Axial plane; 240x240 px; Brain; Slice 63/155
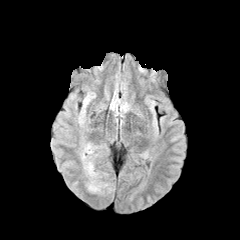
FLAIR magnetic resonance.
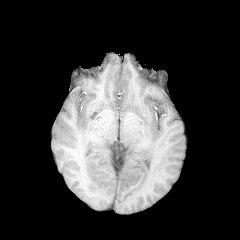
T1-weighted MRI.
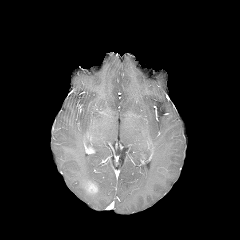
Post-contrast T1-weighted magnetic resonance of the same slice.
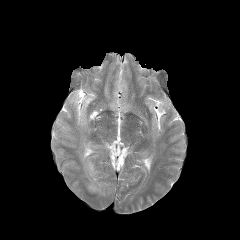
T2-weighted MR image of the same slice.
peritumoral edema at [x1=81, y1=143, x2=111, y2=193]
enhancing tumor at [x1=87, y1=182, x2=97, y2=192]